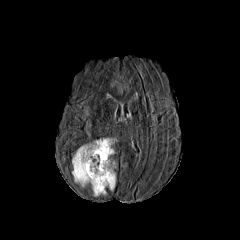
FLAIR MRI.
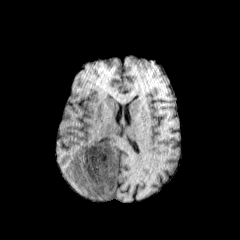
T1-weighted magnetic resonance.
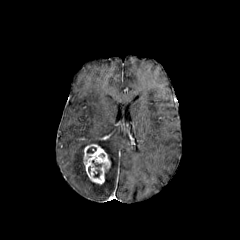
Post-contrast T1-weighted MR image.
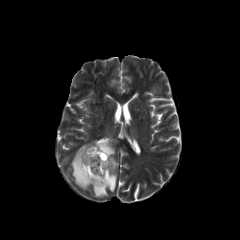
Same slice, T2-weighted MRI.
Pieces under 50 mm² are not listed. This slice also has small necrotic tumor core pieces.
peritumoral edema: (72, 138, 115, 196) | enhancing tumor: (83, 144, 110, 184)